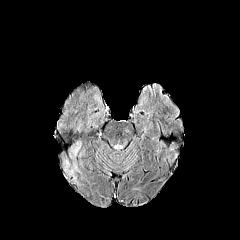
FLAIR MR.
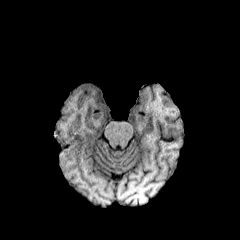
Same slice, T1-weighted magnetic resonance.
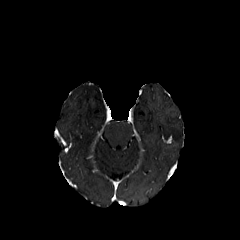
Post-contrast T1-weighted MRI.
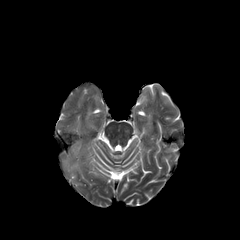
Same slice, T2-weighted MR.
Axial slice, Brain
Segmented structures:
* peritumoral edema: [x1=65, y1=143, x2=79, y2=170]